FLAIR MR.
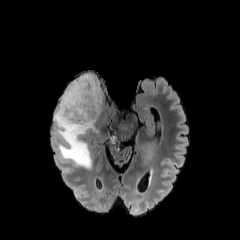
T1-weighted MR.
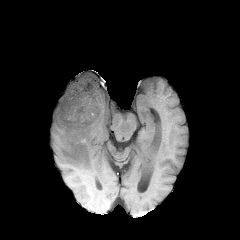
Post-contrast T1-weighted MRI.
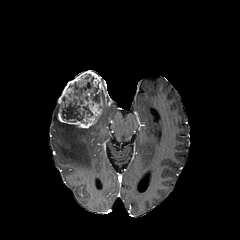
T2-weighted MR.
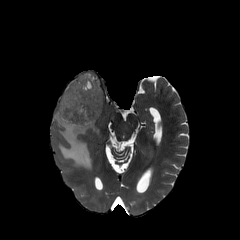
Brain | 240x240 px
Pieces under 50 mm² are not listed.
peritumoral edema: rect(53, 103, 99, 169) | enhancing tumor: rect(57, 71, 103, 128) | necrotic tumor core: rect(61, 77, 100, 121)